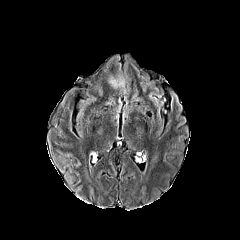
FLAIR MR image.
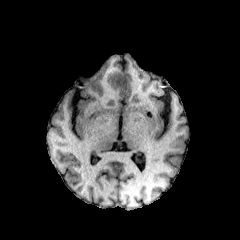
T1-weighted MRI.
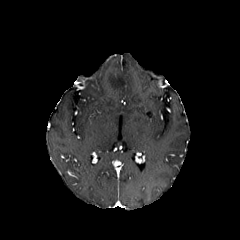
Post-contrast T1-weighted MR.
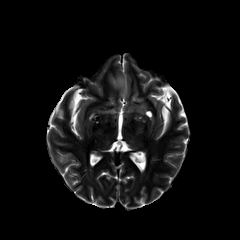
T2-weighted magnetic resonance of the same slice.
240x240
- peritumoral edema: l=109, t=77, r=124, b=87